Slice index 79, Axial slice, Brain, Image covers 240 mm x 240 mm
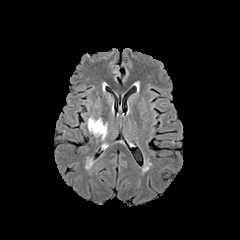
FLAIR MRI.
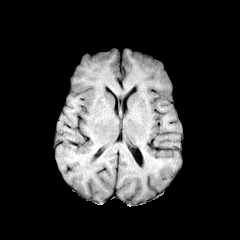
T1-weighted magnetic resonance of the same slice.
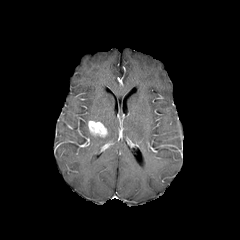
Post-contrast T1-weighted MRI.
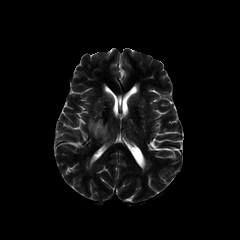
T2-weighted MRI.
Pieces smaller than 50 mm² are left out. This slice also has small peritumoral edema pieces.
The enhancing tumor appears at box(88, 121, 107, 136).